FLAIR MR image.
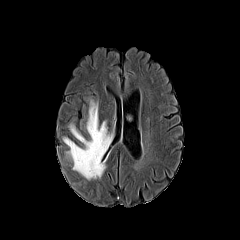
T1-weighted MR.
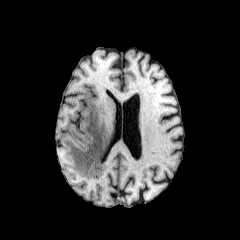
Post-contrast T1-weighted MR.
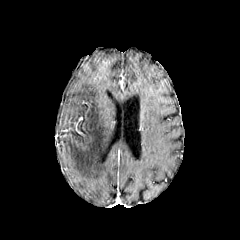
T2-weighted MR.
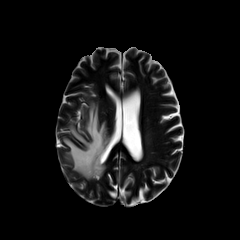
Brain, 240x240
The peritumoral edema appears at (63,100,112,179).